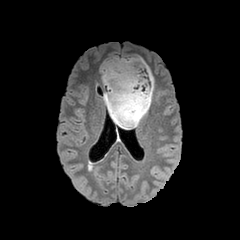
FLAIR MRI.
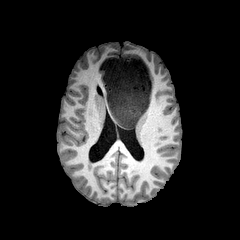
T1-weighted MR image.
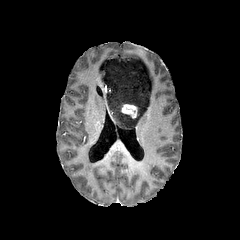
Post-contrast T1-weighted MR image of the same slice.
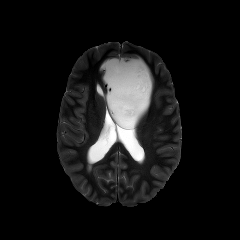
Same slice, T2-weighted MRI.
Axial slice. 240x240 px.
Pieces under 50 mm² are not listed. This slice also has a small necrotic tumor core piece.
enhancing tumor: bounding box x1=121, y1=104, x2=137, y2=118
peritumoral edema: bounding box x1=100, y1=56, x2=154, y2=127